Axial plane
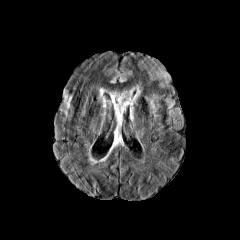
FLAIR MRI.
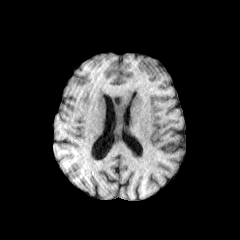
T1-weighted MR.
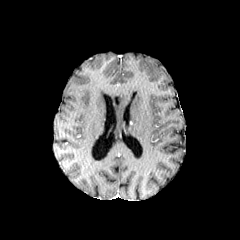
Post-contrast T1-weighted MR.
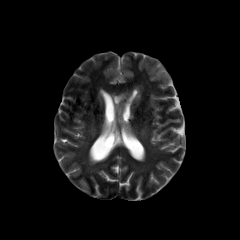
T2-weighted MR image of the same slice.
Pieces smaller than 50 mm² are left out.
The 3 largest peritumoral edema regions appear at (left=99, top=87, right=106, bottom=107), (left=109, top=72, right=125, bottom=83), (left=109, top=84, right=140, bottom=136).